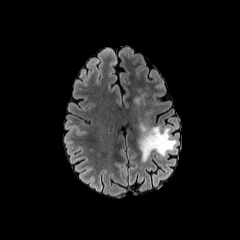
FLAIR MR image.
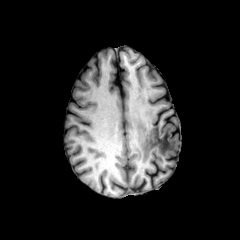
T1-weighted MR image.
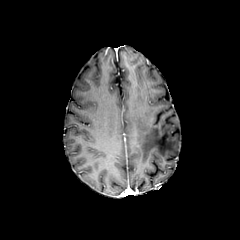
Post-contrast T1-weighted magnetic resonance of the same slice.
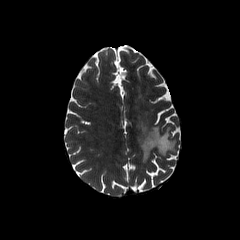
Same slice, T2-weighted MRI.
Head. Axial slice.
* peritumoral edema: box=[139, 124, 176, 161]